FLAIR MR image.
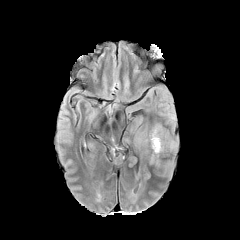
T1-weighted MR.
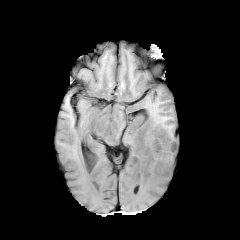
Post-contrast T1-weighted MR image.
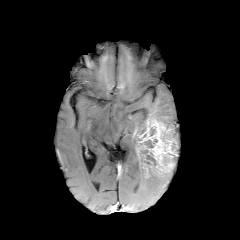
T2-weighted magnetic resonance.
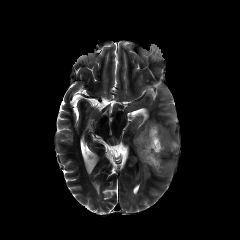
Image size 240x240. Axial plane. Head.
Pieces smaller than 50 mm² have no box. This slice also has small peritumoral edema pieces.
The largest necrotic tumor core region is located at [x1=147, y1=155, x2=156, y2=165]. The enhancing tumor is located at [x1=136, y1=121, x2=176, y2=177].